FLAIR MR image.
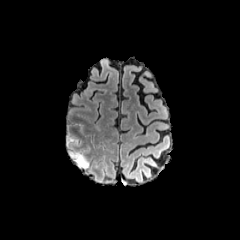
T1-weighted MR image.
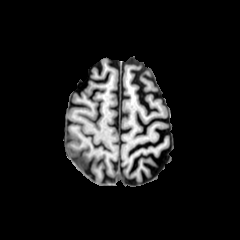
Post-contrast T1-weighted MRI.
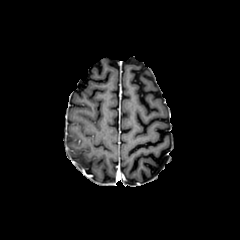
T2-weighted MR.
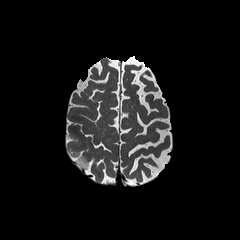
<segmentation>
  <peritumoral_edema>67, 136, 89, 168</peritumoral_edema>
</segmentation>